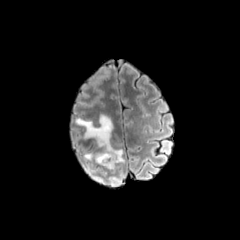
FLAIR magnetic resonance.
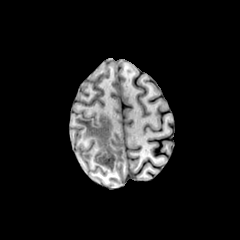
T1-weighted MR.
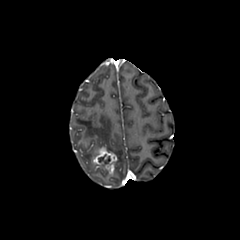
Post-contrast T1-weighted MR.
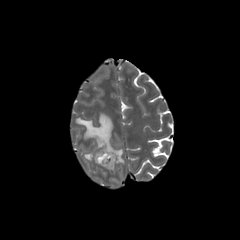
T2-weighted MR.
240x240
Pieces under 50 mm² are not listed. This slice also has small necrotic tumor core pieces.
The enhancing tumor is located at 92 146 117 174. The 3 largest peritumoral edema regions are bounded by 75 114 124 172, 110 177 119 183, 84 153 94 161.